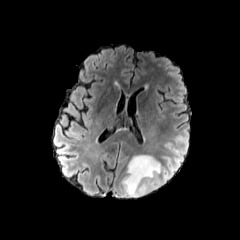
FLAIR magnetic resonance.
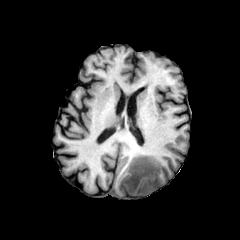
T1-weighted MRI of the same slice.
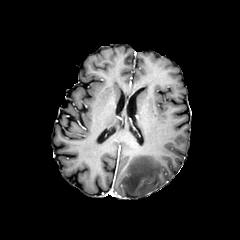
Same slice, post-contrast T1-weighted MRI.
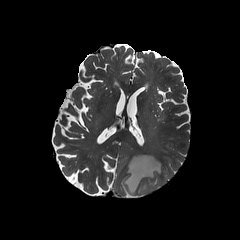
T2-weighted MR image.
240x240
Segmented structures:
• peritumoral edema: (left=121, top=154, right=161, bottom=197)